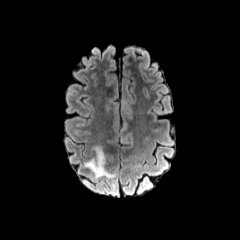
FLAIR MR image.
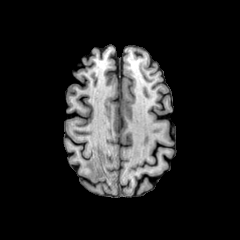
Same slice, T1-weighted MR.
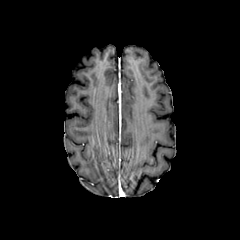
Post-contrast T1-weighted MRI of the same slice.
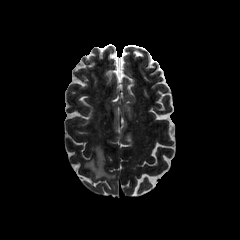
T2-weighted MRI of the same slice.
Image size 240x240, Head
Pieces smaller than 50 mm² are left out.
The largest peritumoral edema region is at 84,146,115,179.